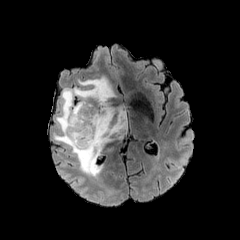
FLAIR MR image.
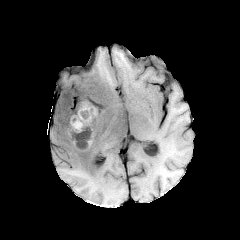
T1-weighted MRI of the same slice.
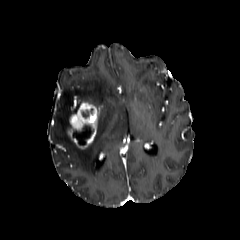
Same slice, post-contrast T1-weighted MRI.
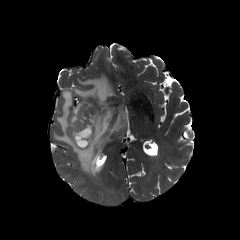
T2-weighted magnetic resonance.
240x240 px | Head
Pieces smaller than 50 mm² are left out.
The largest necrotic tumor core region is bounded by x1=73, y1=125, x2=93, y2=145. The peritumoral edema is at x1=53, y1=76, x2=127, y2=176. The enhancing tumor is located at x1=68, y1=101, x2=99, y2=149.